Axial slice | Slice 135 of 155
FLAIR MR image.
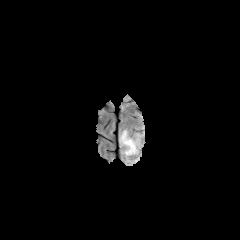
T1-weighted MRI.
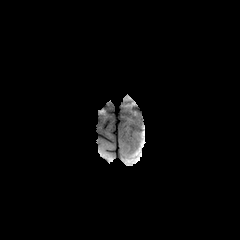
Post-contrast T1-weighted MR image.
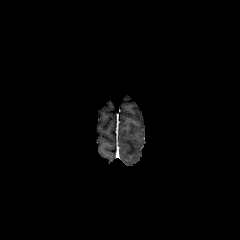
T2-weighted magnetic resonance.
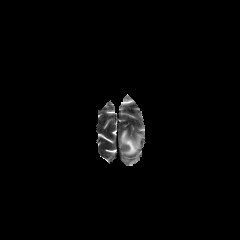
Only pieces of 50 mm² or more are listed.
peritumoral edema: bounding box <bbox>120, 130, 140, 155</bbox>